240x240 px; Brain
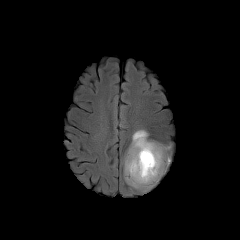
FLAIR MRI.
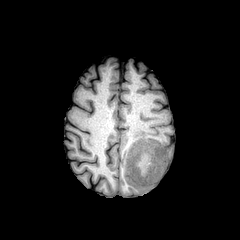
Same slice, T1-weighted magnetic resonance.
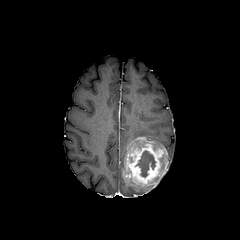
Post-contrast T1-weighted MR image of the same slice.
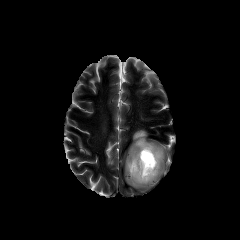
T2-weighted MR image of the same slice.
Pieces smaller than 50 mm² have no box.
Findings:
• peritumoral edema: <bbox>131, 185, 154, 191</bbox>, <bbox>128, 129, 152, 149</bbox>
• enhancing tumor: <bbox>123, 137, 168, 187</bbox>
• necrotic tumor core: <bbox>136, 151, 155, 176</bbox>